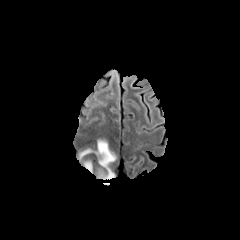
FLAIR magnetic resonance.
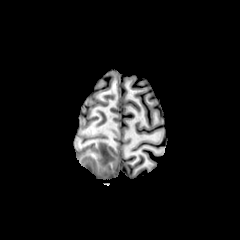
T1-weighted MR.
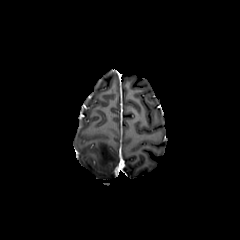
Post-contrast T1-weighted MRI.
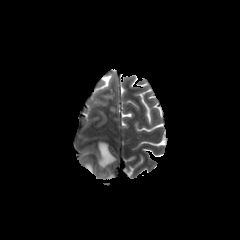
Same slice, T2-weighted magnetic resonance.
Brain
3 peritumoral edema regions are located at region(82, 161, 92, 171); region(79, 149, 91, 158); region(96, 141, 115, 178).